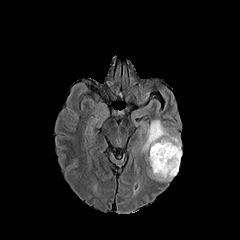
FLAIR MR.
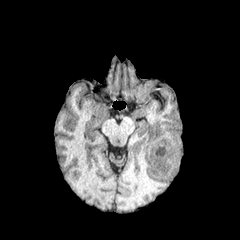
T1-weighted MR image.
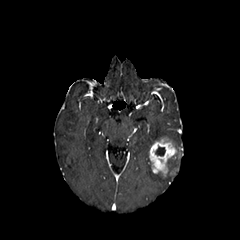
Post-contrast T1-weighted magnetic resonance of the same slice.
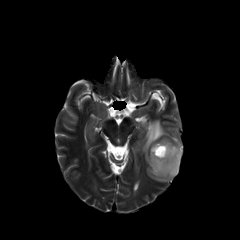
T2-weighted MR of the same slice.
Axial plane; 240x240 px; Brain
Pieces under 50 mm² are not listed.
Annotated regions:
- necrotic tumor core: box=[155, 147, 165, 156]
- enhancing tumor: box=[149, 137, 181, 177]
- peritumoral edema: box=[142, 120, 180, 152]; box=[150, 158, 180, 181]